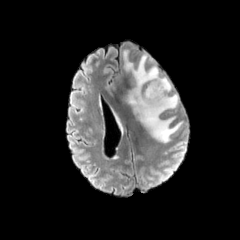
FLAIR MR.
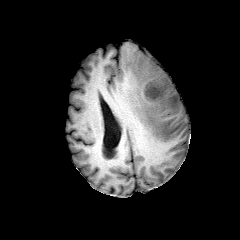
T1-weighted MR image of the same slice.
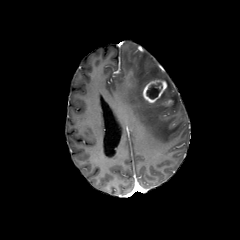
Post-contrast T1-weighted MR image of the same slice.
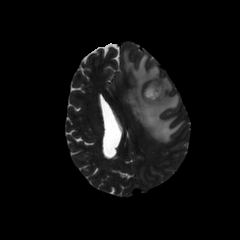
Same slice, T2-weighted MR.
Brain, Axial slice
The necrotic tumor core is bounded by (x1=146, y1=83, x2=162, y2=99). The peritumoral edema is bounded by (x1=123, y1=50, x2=181, y2=142). 2 enhancing tumor regions are bounded by (x1=143, y1=79, x2=167, y2=103), (x1=163, y1=99, x2=172, y2=105).